Slice 123 of 155; Brain; 240x240 px
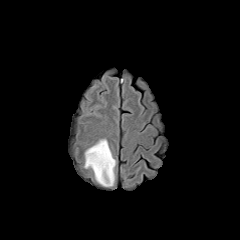
FLAIR MR.
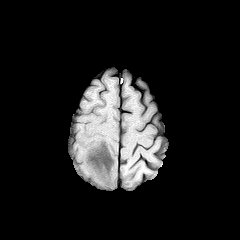
T1-weighted MR.
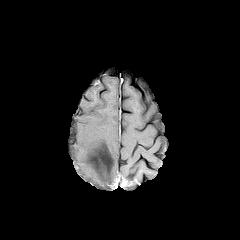
Post-contrast T1-weighted magnetic resonance.
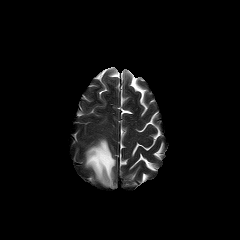
T2-weighted magnetic resonance of the same slice.
<segmentation>
  <peritumoral_edema><box>85,139,115,186</box></peritumoral_edema>
</segmentation>